FLAIR MR.
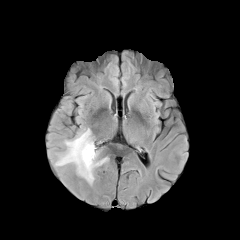
T1-weighted magnetic resonance.
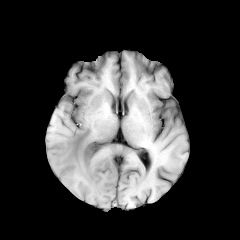
Post-contrast T1-weighted MR.
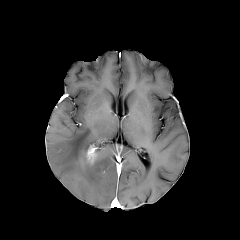
T2-weighted MR image.
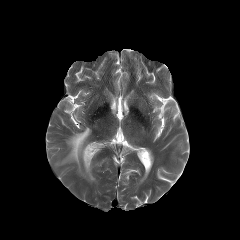
Head. Axial view.
enhancing_tumor:
  - bbox(80, 145, 95, 171)
peritumoral_edema:
  - bbox(56, 128, 106, 182)